FLAIR MR image.
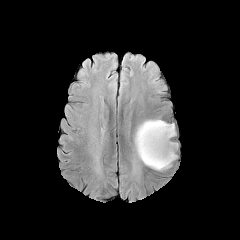
T1-weighted MRI.
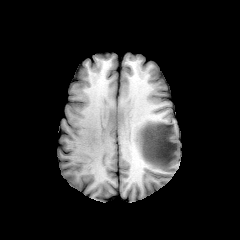
Post-contrast T1-weighted magnetic resonance.
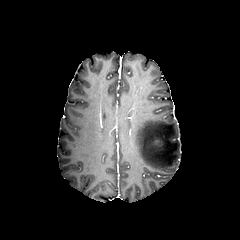
T2-weighted MR.
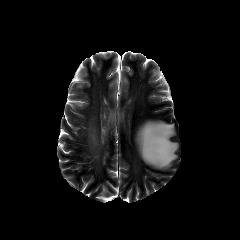
peritumoral edema: bounding box l=135, t=120, r=177, b=169